FLAIR magnetic resonance.
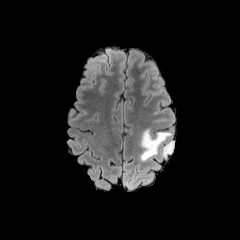
T1-weighted MRI.
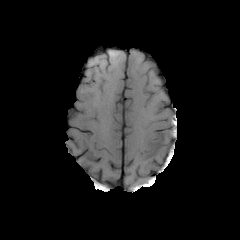
Post-contrast T1-weighted MR image.
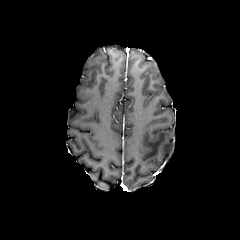
T2-weighted MRI.
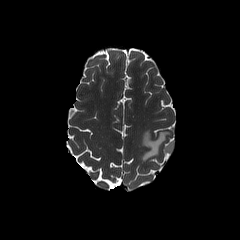
Axial plane.
<segmentation>
  <peritumoral_edema>(140,129,174,161)</peritumoral_edema>
</segmentation>